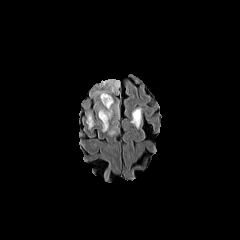
FLAIR MRI.
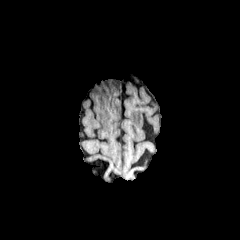
T1-weighted MR.
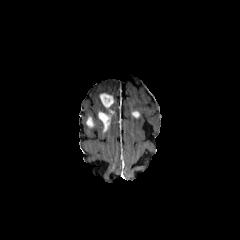
Post-contrast T1-weighted MRI.
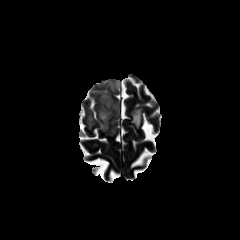
Same slice, T2-weighted MR image.
240x240
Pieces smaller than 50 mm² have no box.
enhancing tumor — {"x1": 100, "y1": 93, "x2": 113, "y2": 108}, {"x1": 86, "y1": 116, "x2": 93, "y2": 127}, {"x1": 98, "y1": 110, "x2": 113, "y2": 131}
peritumoral edema — {"x1": 131, "y1": 108, "x2": 142, "y2": 128}, {"x1": 107, "y1": 125, "x2": 117, "y2": 135}, {"x1": 92, "y1": 79, "x2": 119, "y2": 98}, {"x1": 94, "y1": 101, "x2": 119, "y2": 118}